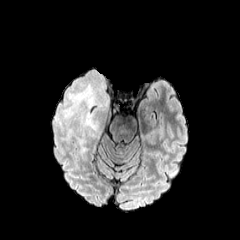
FLAIR MR image.
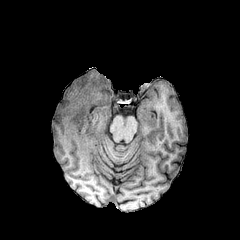
Same slice, T1-weighted MR.
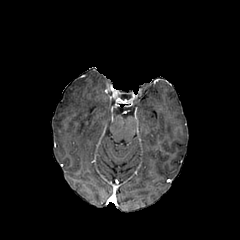
Same slice, post-contrast T1-weighted MR image.
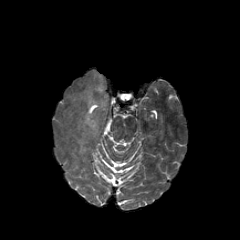
T2-weighted MR image.
Head
<segmentation>
  <peritumoral_edema>78,138,89,154; 55,69,116,136</peritumoral_edema>
</segmentation>